Image width 240 mm | Brain | Image size 240x240
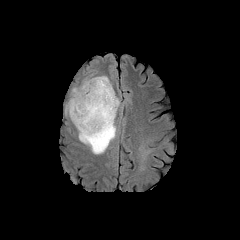
FLAIR magnetic resonance.
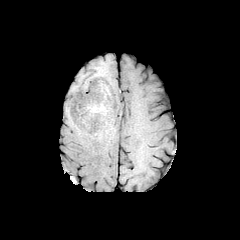
Same slice, T1-weighted MRI.
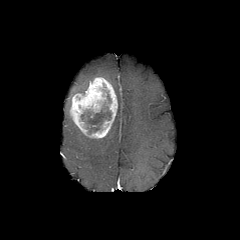
Post-contrast T1-weighted MR image.
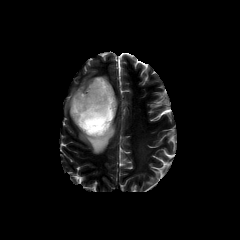
T2-weighted MR image.
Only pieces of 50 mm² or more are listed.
The largest enhancing tumor region is located at region(69, 77, 117, 138). The largest necrotic tumor core region lies within region(81, 106, 111, 133). The 2 largest peritumoral edema regions are located at region(74, 96, 119, 154); region(71, 78, 93, 97).